Slice index 100; Brain; Axial slice
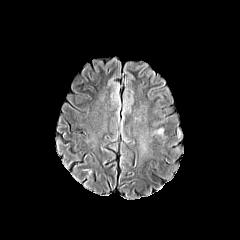
FLAIR MR.
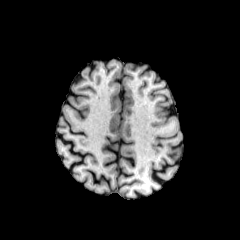
T1-weighted MR.
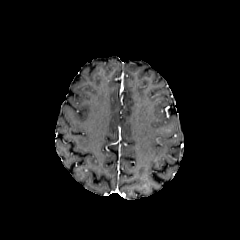
Same slice, post-contrast T1-weighted MR.
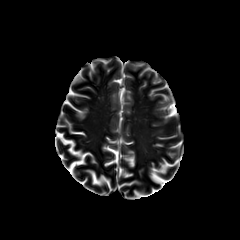
T2-weighted MR of the same slice.
{
  "peritumoral_edema": [
    {"x1": 154, "y1": 128, "x2": 163, "y2": 134}
  ]
}